Slice 74/155. Axial view.
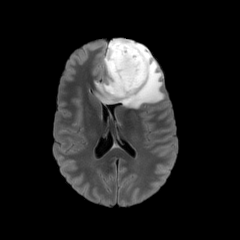
FLAIR MR image.
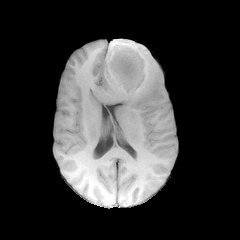
T1-weighted MR.
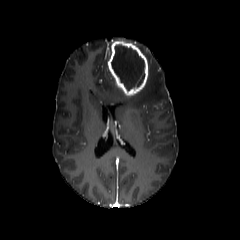
Post-contrast T1-weighted MRI.
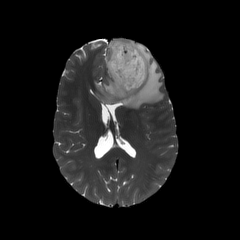
T2-weighted magnetic resonance.
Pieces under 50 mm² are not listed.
enhancing tumor: box(107, 40, 148, 96) | necrotic tumor core: box(111, 44, 144, 90) | peritumoral edema: box(94, 38, 164, 108)